FLAIR MR.
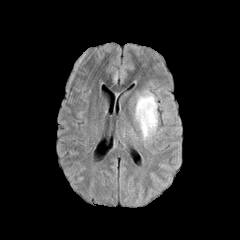
T1-weighted MRI.
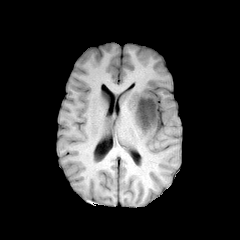
Post-contrast T1-weighted MR image.
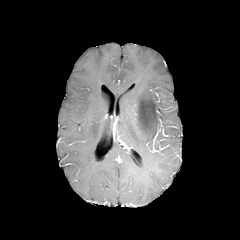
T2-weighted MR.
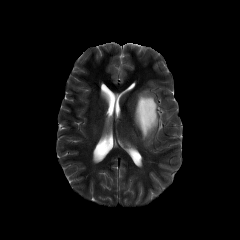
240x240 | Axial view
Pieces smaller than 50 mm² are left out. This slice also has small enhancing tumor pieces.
peritumoral edema at l=134, t=90, r=159, b=141
necrotic tumor core at l=140, t=101, r=154, b=126